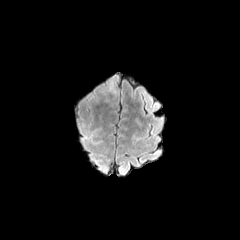
FLAIR magnetic resonance.
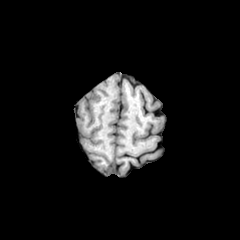
Same slice, T1-weighted MR image.
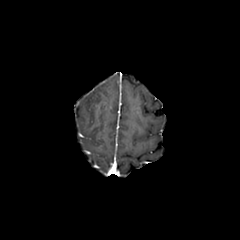
Same slice, post-contrast T1-weighted MR.
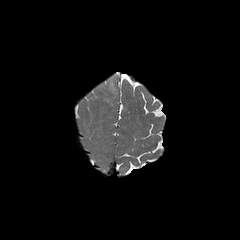
T2-weighted MR of the same slice.
Brain; Image size 240x240
The peritumoral edema appears at box(106, 77, 116, 94).